FLAIR magnetic resonance.
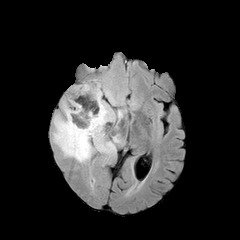
T1-weighted magnetic resonance.
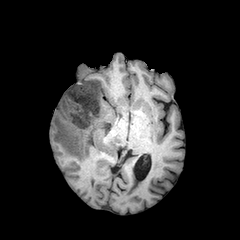
Post-contrast T1-weighted MR image.
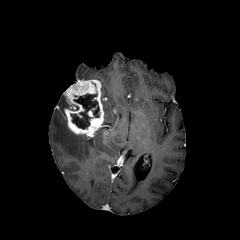
T2-weighted MRI.
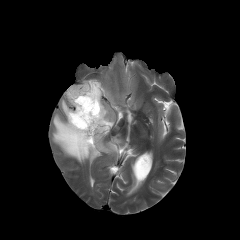
Head
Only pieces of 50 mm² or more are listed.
necrotic tumor core at <box>71,94,99,128</box>
peritumoral edema at <box>101,82,117,105</box>, <box>52,95,121,163</box>
enhancing tumor at <box>64,79,104,137</box>